Axial slice.
FLAIR MR image.
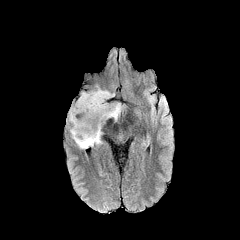
T1-weighted magnetic resonance.
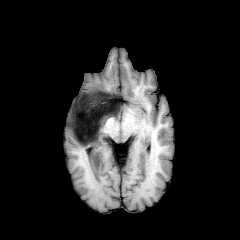
Post-contrast T1-weighted MRI.
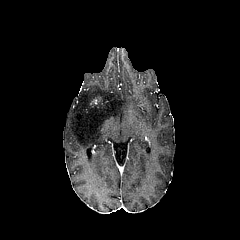
T2-weighted MRI.
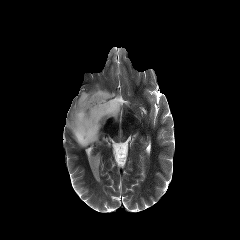
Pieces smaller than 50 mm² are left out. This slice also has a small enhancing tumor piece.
The peritumoral edema lies within (66,85,123,149).